FLAIR MRI.
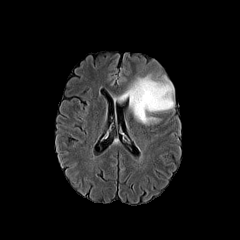
T1-weighted magnetic resonance.
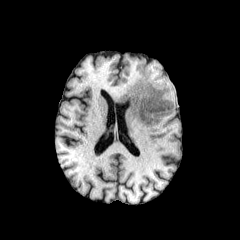
Post-contrast T1-weighted MR image.
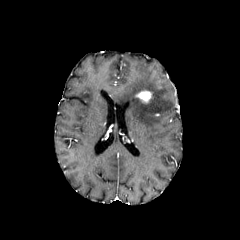
T2-weighted MRI.
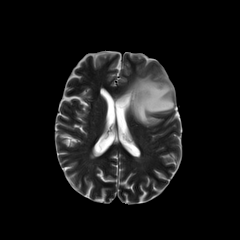
Axial slice | 240x240 px
peritumoral edema: 118 75 174 124 | enhancing tumor: 135 90 152 103